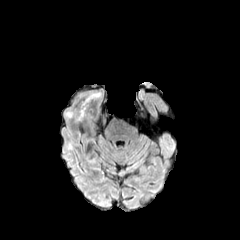
FLAIR MR image.
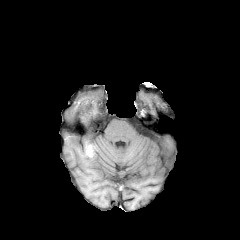
T1-weighted MRI.
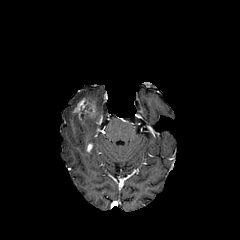
Post-contrast T1-weighted MR image of the same slice.
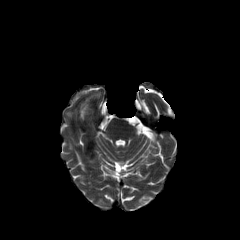
T2-weighted magnetic resonance.
240x240 px. Brain.
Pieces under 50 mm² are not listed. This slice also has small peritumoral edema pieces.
The enhancing tumor is at (x1=71, y1=96, x2=97, y2=125).